FLAIR MR image.
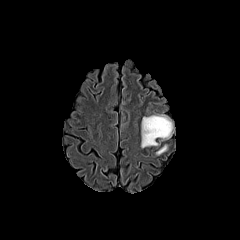
T1-weighted magnetic resonance.
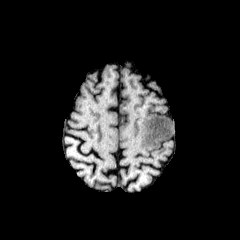
Post-contrast T1-weighted magnetic resonance.
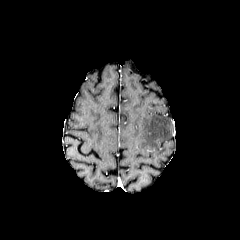
T2-weighted magnetic resonance.
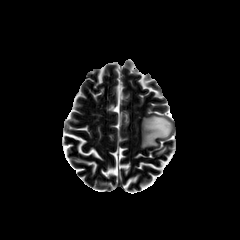
Head, Axial view
Annotated regions:
• peritumoral edema: bbox(156, 145, 167, 155); bbox(141, 115, 173, 147)